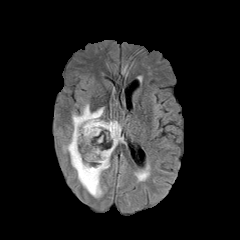
FLAIR MR image.
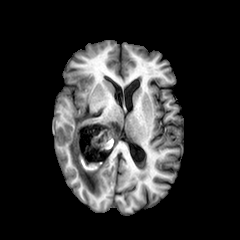
T1-weighted magnetic resonance.
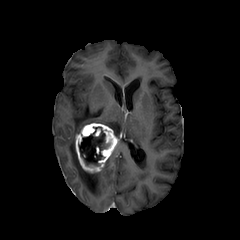
Post-contrast T1-weighted MR image.
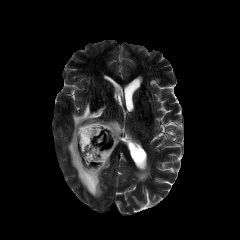
Same slice, T2-weighted MR.
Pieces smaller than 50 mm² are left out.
necrotic tumor core at <box>79,127,110,165</box>
enhancing tumor at <box>75,123,119,173</box>
peritumoral edema at <box>63,103,121,197</box>